Image covers 240 mm x 240 mm, Slice 111 of 155
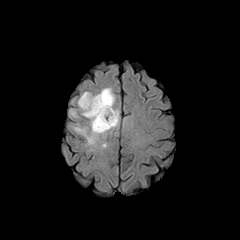
FLAIR MRI.
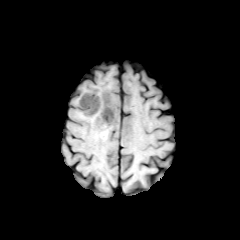
T1-weighted MR.
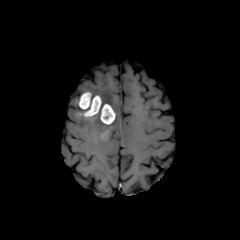
Post-contrast T1-weighted magnetic resonance.
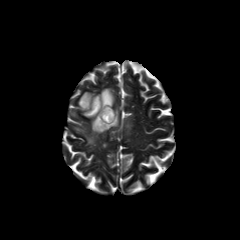
T2-weighted MR of the same slice.
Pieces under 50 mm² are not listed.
Findings:
- necrotic tumor core: (102,109,112,120)
- enhancing tumor: (78,92,115,124)
- peritumoral edema: (74,87,119,145)